FLAIR MR.
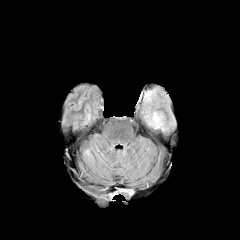
T1-weighted MR image.
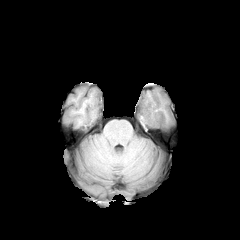
Post-contrast T1-weighted magnetic resonance.
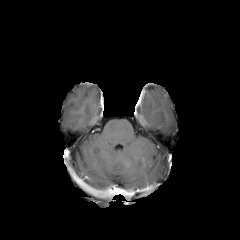
T2-weighted MRI.
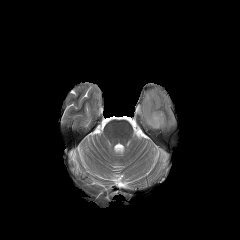
240x240, Head, Axial plane
{"peritumoral_edema": ["(145,111,164,128)"]}